Axial plane. Image size 240x240. Brain.
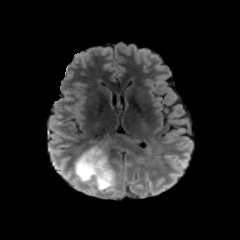
FLAIR MRI.
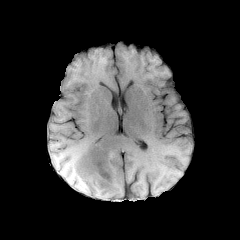
Same slice, T1-weighted magnetic resonance.
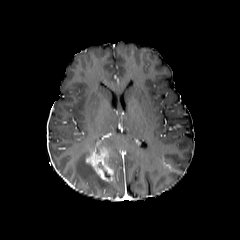
Post-contrast T1-weighted MRI.
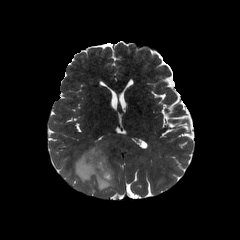
Same slice, T2-weighted MRI.
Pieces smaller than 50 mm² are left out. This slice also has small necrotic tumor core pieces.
peritumoral edema: bounding box 72:143:120:191
enhancing tumor: bounding box 86:148:114:182